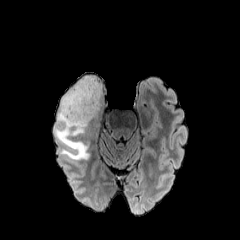
FLAIR MR.
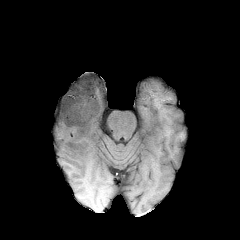
T1-weighted magnetic resonance.
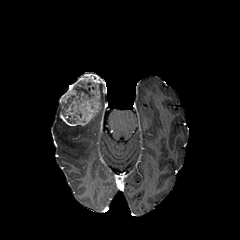
Post-contrast T1-weighted MR image.
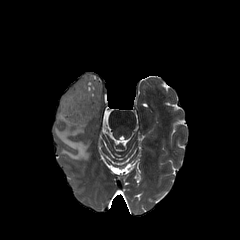
Same slice, T2-weighted MRI.
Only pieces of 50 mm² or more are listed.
<segmentation>
  <enhancing_tumor>(59,74,101,126)</enhancing_tumor>
  <peritumoral_edema>(54,103,89,160)</peritumoral_edema>
  <necrotic_tumor_core>(65,96,74,108), (74,81,93,97)</necrotic_tumor_core>
</segmentation>